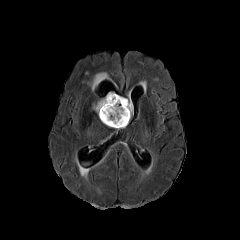
FLAIR MR.
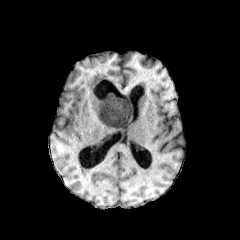
T1-weighted MRI.
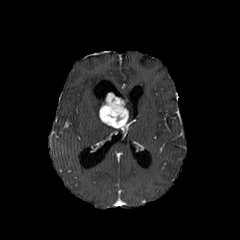
Post-contrast T1-weighted MR.
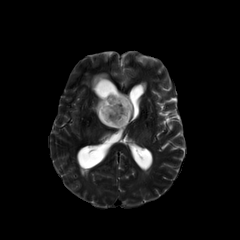
T2-weighted MR image of the same slice.
Axial slice, Brain
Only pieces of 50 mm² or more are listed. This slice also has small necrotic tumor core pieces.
The enhancing tumor is bounded by region(99, 92, 129, 128). 3 peritumoral edema regions appear at region(88, 72, 109, 90); region(120, 97, 132, 122); region(93, 98, 104, 114).